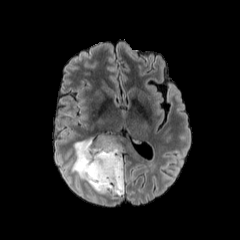
FLAIR MR image.
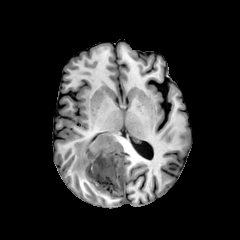
T1-weighted MR image.
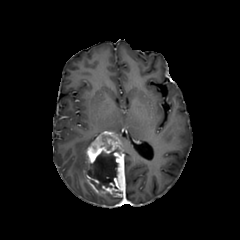
Post-contrast T1-weighted magnetic resonance of the same slice.
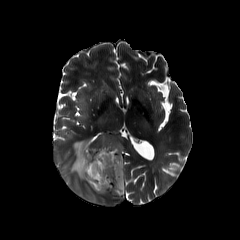
T2-weighted MR.
Brain | Axial view
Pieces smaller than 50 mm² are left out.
Annotated regions:
* necrotic tumor core: {"x1": 87, "y1": 148, "x2": 119, "y2": 190}
* peritumoral edema: {"x1": 71, "y1": 138, "x2": 93, "y2": 181}
* enhancing tumor: {"x1": 84, "y1": 132, "x2": 125, "y2": 196}